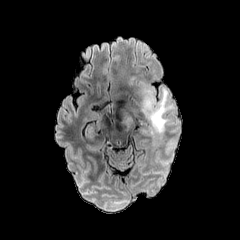
FLAIR magnetic resonance.
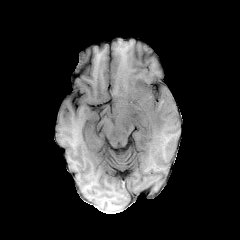
T1-weighted MR.
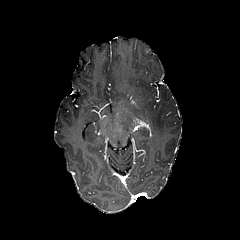
Post-contrast T1-weighted MR.
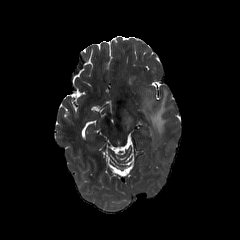
Same slice, T2-weighted magnetic resonance.
Head | 240x240 px
2 peritumoral edema regions are located at 123,111,136,127; 142,89,172,134.